FLAIR magnetic resonance.
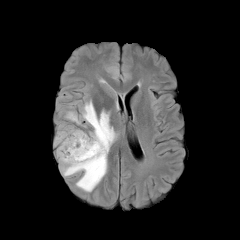
T1-weighted MR image.
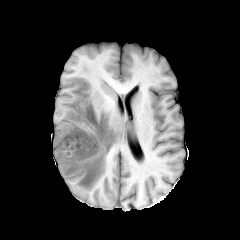
Post-contrast T1-weighted MR.
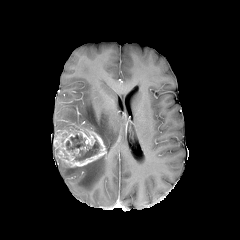
T2-weighted MR.
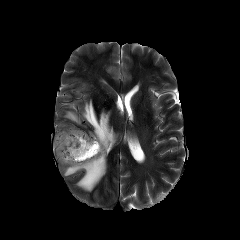
Axial view; Brain
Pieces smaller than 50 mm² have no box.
Findings:
* necrotic tumor core: region(77, 144, 98, 159); region(65, 136, 84, 148)
* peritumoral edema: region(82, 100, 117, 150); region(65, 111, 80, 124); region(58, 154, 107, 191)
* enhancing tumor: region(53, 128, 106, 167)